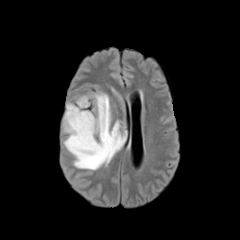
FLAIR MR image.
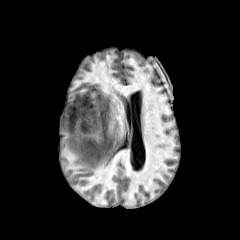
T1-weighted magnetic resonance.
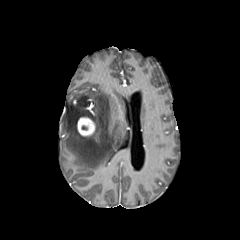
Post-contrast T1-weighted MR image.
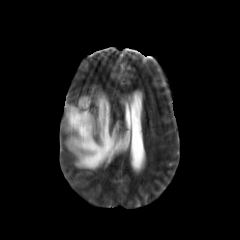
T2-weighted MR.
Axial slice
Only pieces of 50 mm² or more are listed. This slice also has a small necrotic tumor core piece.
enhancing tumor — x1=77, y1=117, x2=95, y2=136
peritumoral edema — x1=64, y1=93, x2=124, y2=169